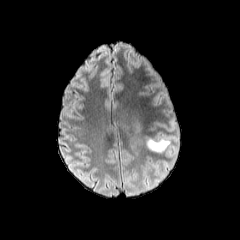
FLAIR MR image.
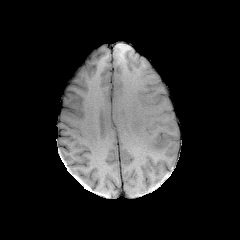
T1-weighted MR image.
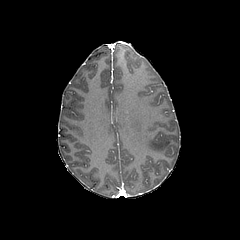
Same slice, post-contrast T1-weighted MR.
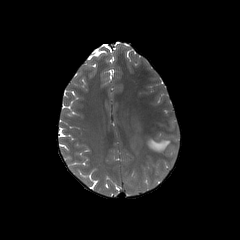
Same slice, T2-weighted MRI.
Head | 240x240 px
peritumoral edema: [146, 136, 170, 152]